Slice 86/155. Axial slice.
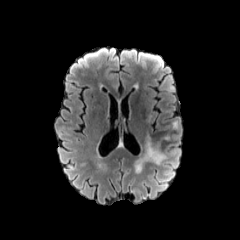
FLAIR MR image.
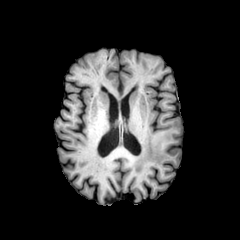
Same slice, T1-weighted MR.
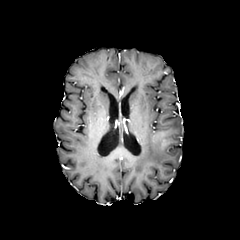
Post-contrast T1-weighted magnetic resonance.
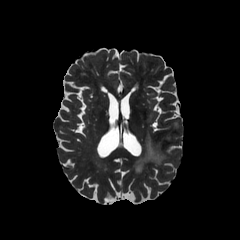
T2-weighted MR image of the same slice.
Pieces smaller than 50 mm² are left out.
peritumoral_edema:
  - 134 138 165 173